Slice index 48
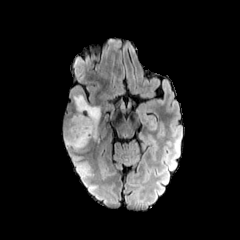
FLAIR magnetic resonance.
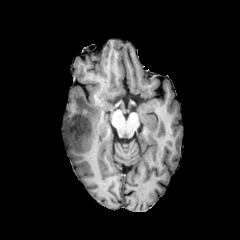
T1-weighted magnetic resonance.
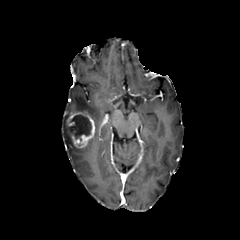
Post-contrast T1-weighted MRI.
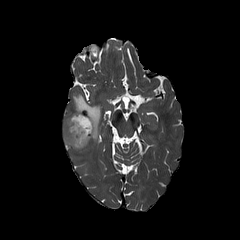
Same slice, T2-weighted MRI.
* necrotic tumor core: (x1=71, y1=115, x2=92, y2=140)
* peritumoral edema: (x1=63, y1=113, x2=82, y2=150), (x1=73, y1=94, x2=100, y2=139)
* enhancing tumor: (x1=66, y1=112, x2=95, y2=148)